FLAIR MR image.
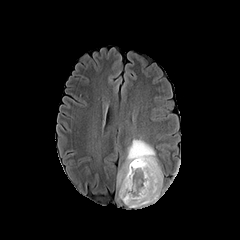
T1-weighted MRI.
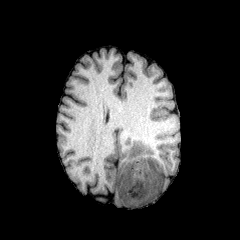
Post-contrast T1-weighted MR.
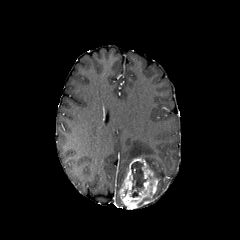
T2-weighted MR image.
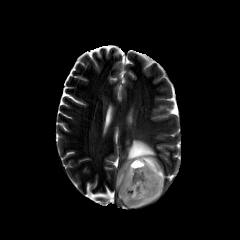
240x240; Head
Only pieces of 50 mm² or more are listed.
peritumoral edema: bounding box (left=117, top=139, right=163, bottom=195)
necrotic tumor core: bounding box (left=131, top=161, right=146, bottom=197)
enhancing tumor: bounding box (left=118, top=157, right=159, bottom=209)